Axial slice; Slice 59/155
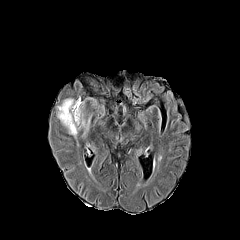
FLAIR magnetic resonance.
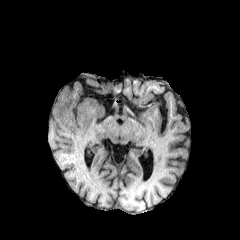
T1-weighted magnetic resonance.
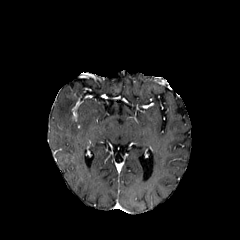
Post-contrast T1-weighted magnetic resonance.
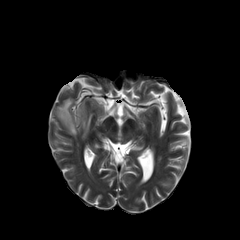
Same slice, T2-weighted MR.
<segmentation>
  <enhancing_tumor>71, 101, 81, 121</enhancing_tumor>
  <peritumoral_edema>56, 98, 91, 136</peritumoral_edema>
</segmentation>